FLAIR MR image.
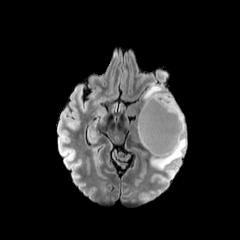
T1-weighted MR image.
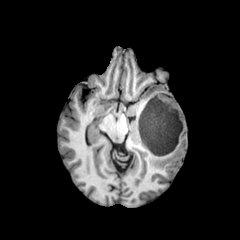
Post-contrast T1-weighted MR image.
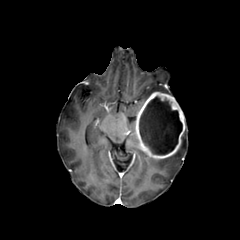
T2-weighted MR image.
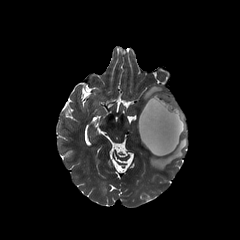
240x240 px; Head
The necrotic tumor core appears at rect(139, 96, 182, 155). 2 peritumoral edema regions appear at rect(150, 125, 186, 169); rect(143, 84, 171, 102). The enhancing tumor is located at rect(135, 91, 185, 158).